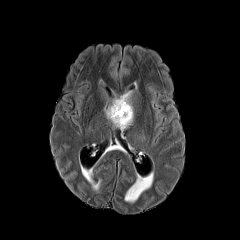
FLAIR magnetic resonance.
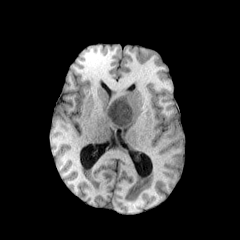
T1-weighted magnetic resonance.
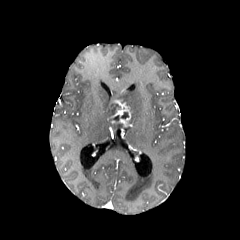
Post-contrast T1-weighted MR.
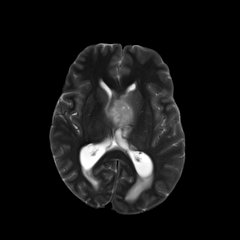
Same slice, T2-weighted MR image.
Brain, 240x240 px
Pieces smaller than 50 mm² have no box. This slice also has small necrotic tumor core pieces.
enhancing tumor: rect(108, 99, 131, 129) | peritumoral edema: rect(105, 102, 116, 117); rect(120, 92, 133, 123)